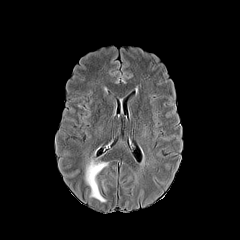
FLAIR MRI.
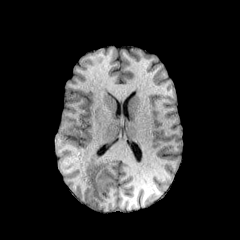
Same slice, T1-weighted MR image.
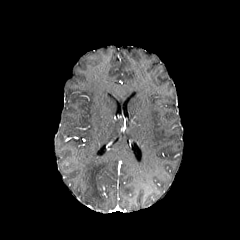
Post-contrast T1-weighted magnetic resonance.
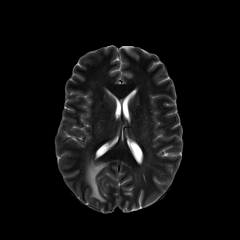
T2-weighted MRI.
Brain
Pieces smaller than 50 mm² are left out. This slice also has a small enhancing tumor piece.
Findings:
• peritumoral edema: box=[85, 157, 108, 202]